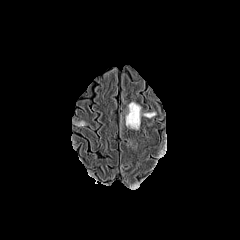
FLAIR MR.
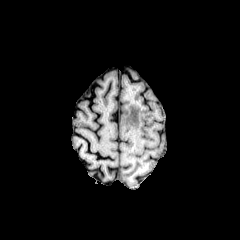
Same slice, T1-weighted magnetic resonance.
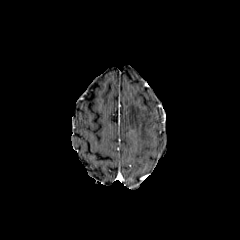
Same slice, post-contrast T1-weighted MR image.
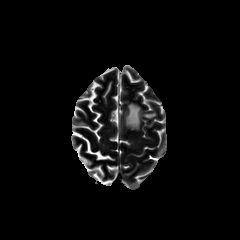
T2-weighted MR.
Brain, Axial view
{
  "peritumoral_edema": [
    "left=143, top=112, right=155, bottom=117",
    "left=125, top=102, right=141, bottom=129",
    "left=72, top=120, right=84, bottom=125"
  ]
}